Slice index 84. Head. Axial view. 240x240.
FLAIR MR image.
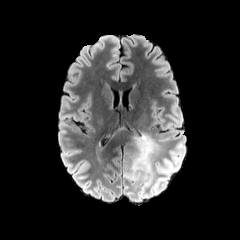
T1-weighted MRI.
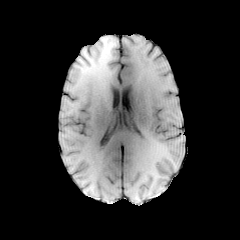
Post-contrast T1-weighted MRI.
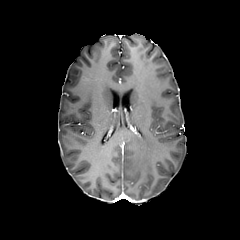
T2-weighted MR.
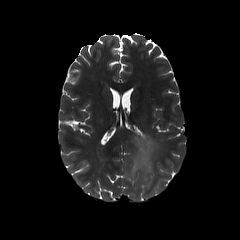
peritumoral_edema:
  - [152, 178, 166, 190]
  - [125, 135, 156, 191]
  - [158, 162, 171, 172]